FLAIR magnetic resonance.
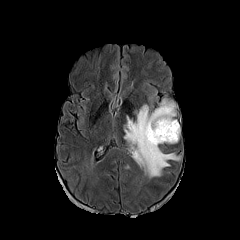
T1-weighted MR image.
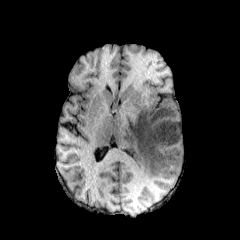
Post-contrast T1-weighted magnetic resonance.
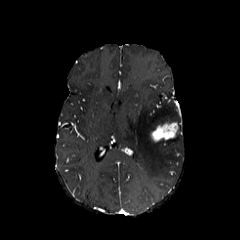
T2-weighted MRI.
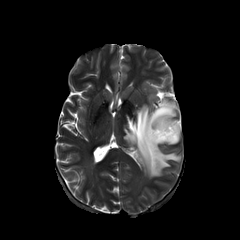
enhancing_tumor:
  - 150, 122, 178, 142
peritumoral_edema:
  - 124, 99, 180, 178